Brain. Slice 77/155.
FLAIR MR image.
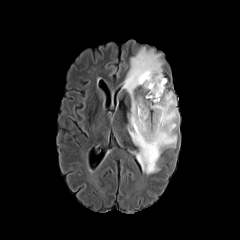
T1-weighted magnetic resonance.
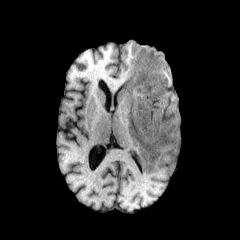
Post-contrast T1-weighted MR image.
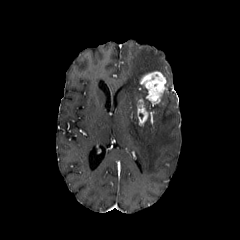
T2-weighted magnetic resonance.
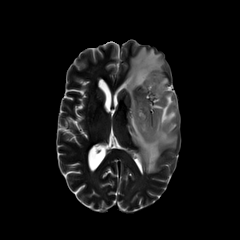
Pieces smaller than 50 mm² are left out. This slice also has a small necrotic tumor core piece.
Findings:
• peritumoral edema: l=122, t=47, r=179, b=174
• enhancing tumor: l=140, t=71, r=166, b=105; l=137, t=98, r=149, b=125